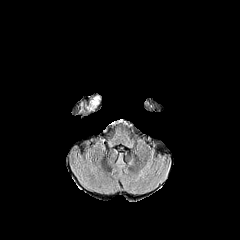
FLAIR MRI.
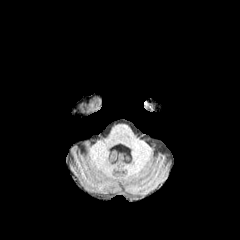
Same slice, T1-weighted MRI.
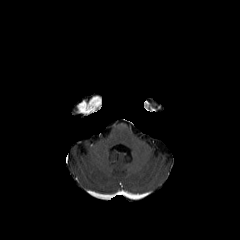
Post-contrast T1-weighted MR of the same slice.
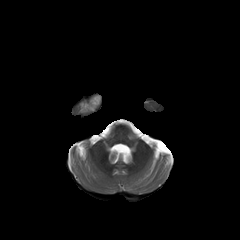
T2-weighted magnetic resonance.
The enhancing tumor is located at region(78, 96, 101, 114).